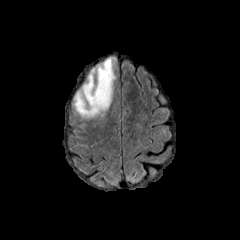
FLAIR magnetic resonance.
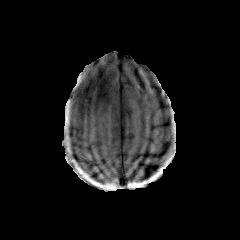
T1-weighted MR of the same slice.
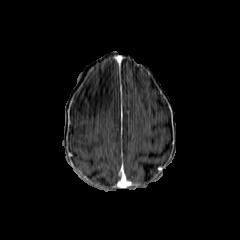
Post-contrast T1-weighted magnetic resonance of the same slice.
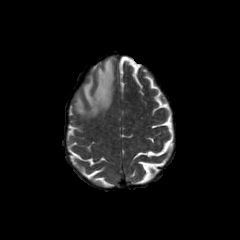
Same slice, T2-weighted magnetic resonance.
Head
The peritumoral edema appears at {"x1": 73, "y1": 57, "x2": 116, "y2": 119}.